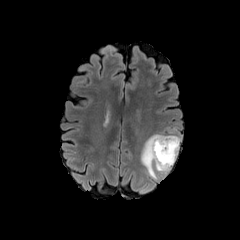
FLAIR MR.
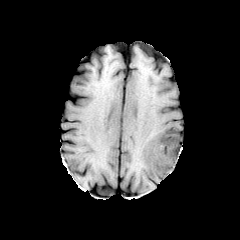
T1-weighted MRI of the same slice.
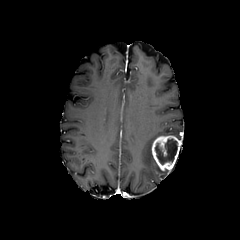
Same slice, post-contrast T1-weighted MR image.
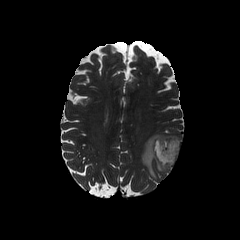
Same slice, T2-weighted MRI.
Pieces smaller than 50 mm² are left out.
peritumoral edema: bbox=[141, 134, 168, 179]
enhancing tumor: bbox=[151, 135, 181, 171]
necrotic tumor core: bbox=[155, 139, 177, 164]